Brain, Image width 240 mm, 240x240 px
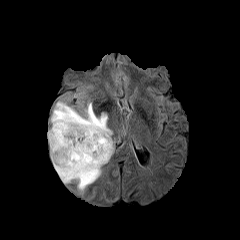
FLAIR MR image.
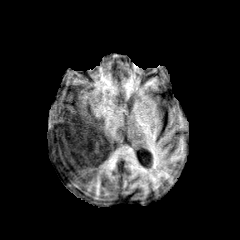
T1-weighted magnetic resonance.
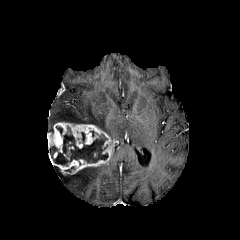
Post-contrast T1-weighted MRI of the same slice.
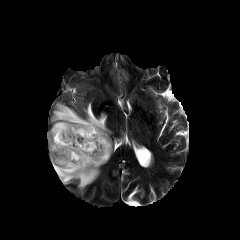
T2-weighted magnetic resonance.
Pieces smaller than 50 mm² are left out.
enhancing_tumor:
  - <bbox>47, 122, 113, 174</bbox>
  - <bbox>63, 146, 74, 160</bbox>
peritumoral_edema:
  - <bbox>54, 165, 102, 191</bbox>
  - <bbox>48, 102, 112, 136</bbox>
necrotic_tumor_core:
  - <bbox>49, 146, 57, 157</bbox>
  - <bbox>53, 134, 108, 165</bbox>